Axial view. Brain. Image width 240 mm.
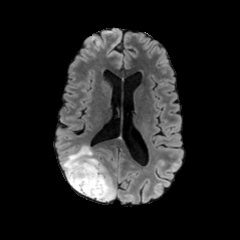
FLAIR MR.
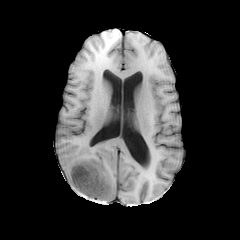
Same slice, T1-weighted MR image.
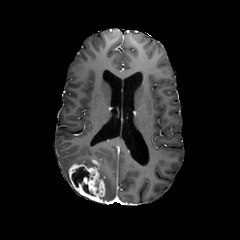
Post-contrast T1-weighted MR image.
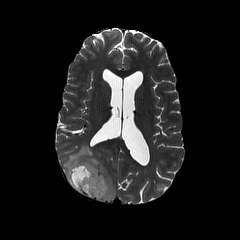
T2-weighted MR.
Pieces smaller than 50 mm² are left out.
necrotic_tumor_core:
  - (82,183,94,195)
  - (72,167,89,187)
peritumoral_edema:
  - (62,145,116,202)
enhancing_tumor:
  - (69,159,105,202)